Slice 78/155 | Head
FLAIR MR.
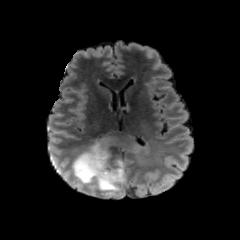
T1-weighted MRI.
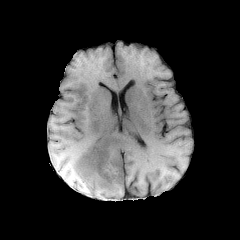
Post-contrast T1-weighted MRI.
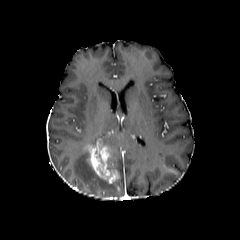
T2-weighted MRI.
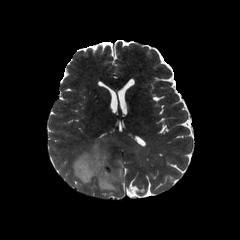
peritumoral edema: bbox=[71, 141, 124, 192] | enhancing tumor: bbox=[87, 145, 120, 184]